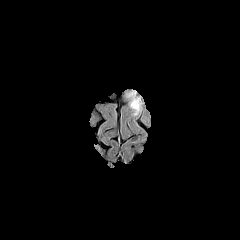
FLAIR magnetic resonance.
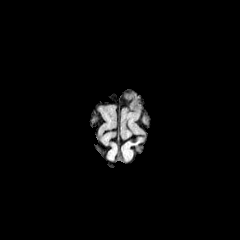
T1-weighted MRI.
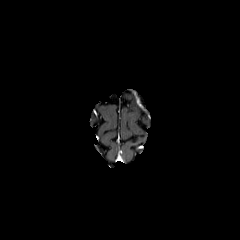
Post-contrast T1-weighted MR of the same slice.
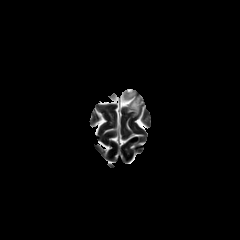
T2-weighted magnetic resonance of the same slice.
Axial plane
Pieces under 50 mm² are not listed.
<segmentation>
  <peritumoral_edema><box>130,96,139,115</box></peritumoral_edema>
</segmentation>